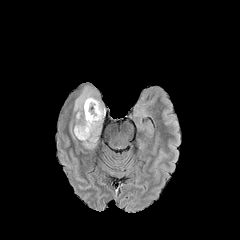
FLAIR magnetic resonance.
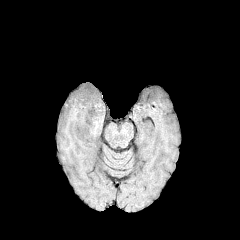
Same slice, T1-weighted MR.
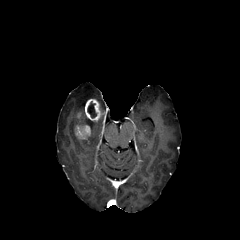
Same slice, post-contrast T1-weighted MR.
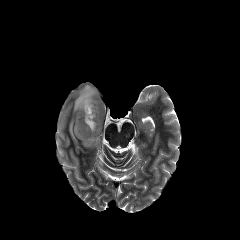
T2-weighted MR image of the same slice.
Brain.
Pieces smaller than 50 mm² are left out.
necrotic tumor core: bounding box 88, 102, 96, 117
enhancing tumor: bounding box 75, 124, 90, 139; 85, 99, 105, 121
peritumoral edema: bounding box 70, 85, 105, 148